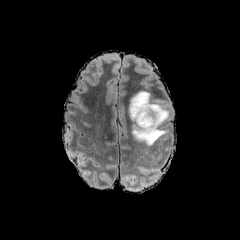
FLAIR MR image.
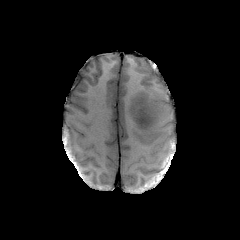
T1-weighted MR.
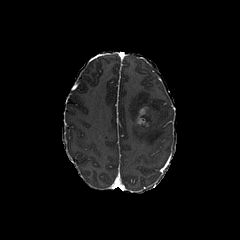
Post-contrast T1-weighted magnetic resonance.
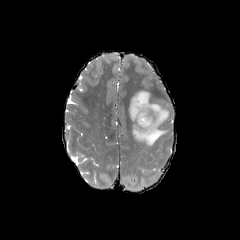
T2-weighted magnetic resonance.
Brain | Axial view | 240x240 px
peritumoral_edema:
  - (left=129, top=91, right=168, bottom=145)
enhancing_tumor:
  - (left=136, top=106, right=149, bottom=126)